FLAIR magnetic resonance.
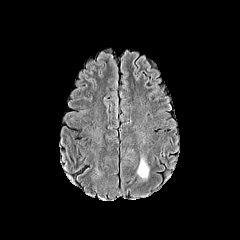
T1-weighted MRI.
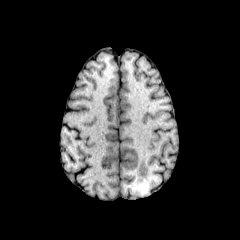
Post-contrast T1-weighted MRI.
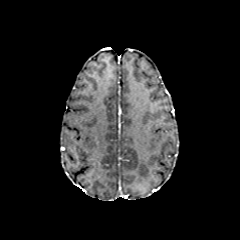
T2-weighted MR image.
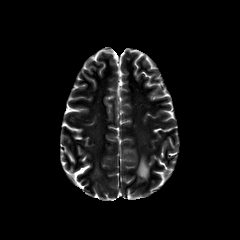
240x240. Axial slice.
peritumoral_edema:
  - (137,158,149,179)